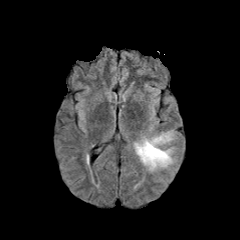
FLAIR MR image.
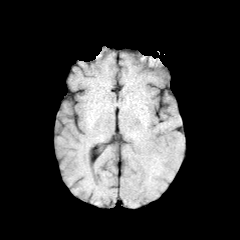
T1-weighted magnetic resonance.
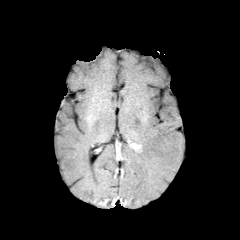
Post-contrast T1-weighted MR.
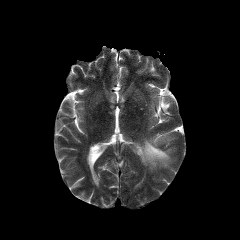
T2-weighted magnetic resonance.
240x240 | Head
peritumoral edema: [136, 131, 173, 170]